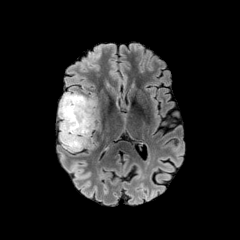
FLAIR MR image.
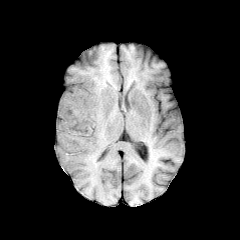
T1-weighted MR of the same slice.
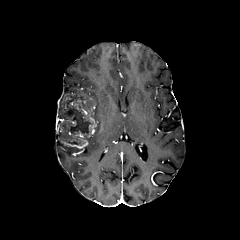
Post-contrast T1-weighted MR image.
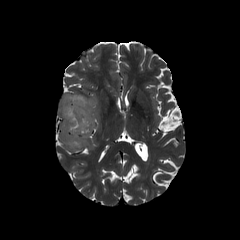
T2-weighted MR image.
Brain | Axial plane
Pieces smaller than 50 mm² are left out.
necrotic tumor core — 62:100:90:144
peritumoral edema — 62:144:81:151
enhancing tumor — 58:93:97:149